240x240
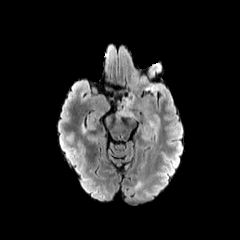
FLAIR magnetic resonance.
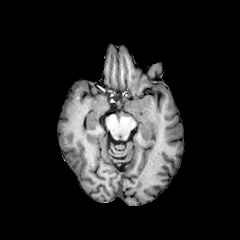
T1-weighted MR image of the same slice.
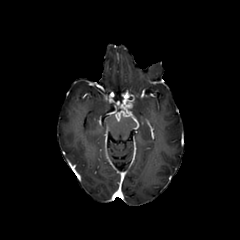
Post-contrast T1-weighted magnetic resonance.
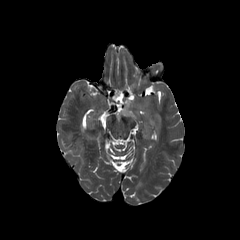
Same slice, T2-weighted MR.
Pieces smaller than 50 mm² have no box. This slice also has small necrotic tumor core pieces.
The peritumoral edema is located at x1=134 y1=97 x2=163 y2=139. The enhancing tumor is at x1=115 y1=94 x2=134 y2=121.